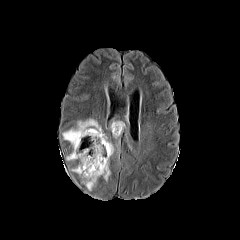
FLAIR magnetic resonance.
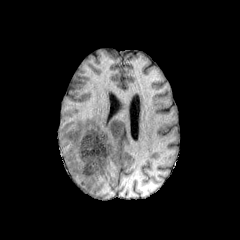
T1-weighted MR image of the same slice.
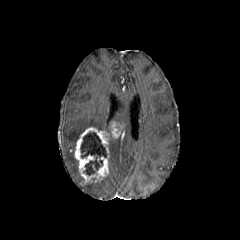
Post-contrast T1-weighted MR of the same slice.
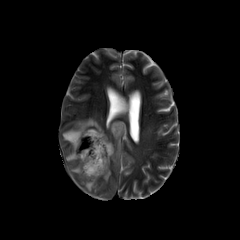
Same slice, T2-weighted magnetic resonance.
Head; 240x240 px
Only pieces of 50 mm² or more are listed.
The 3 largest peritumoral edema regions appear at <bbox>84, 182, 96, 191</bbox>, <bbox>109, 141, 114, 156</bbox>, <bbox>62, 118, 101, 160</bbox>. The 2 largest enhancing tumor regions appear at <bbox>74, 127, 109, 183</bbox>, <bbox>109, 121, 124, 138</bbox>. The necrotic tumor core lies within <bbox>80, 132, 106, 175</bbox>.